Brain, Image size 240x240
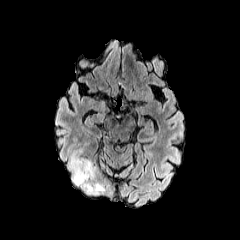
FLAIR MR.
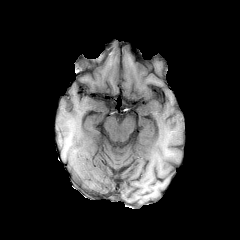
T1-weighted MR of the same slice.
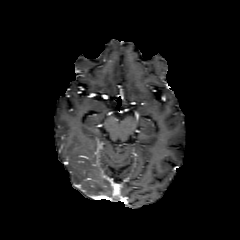
Same slice, post-contrast T1-weighted magnetic resonance.
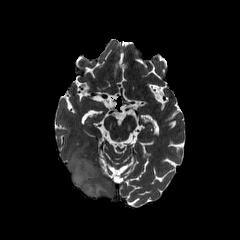
Same slice, T2-weighted MR.
The peritumoral edema is bounded by [71, 153, 102, 192].